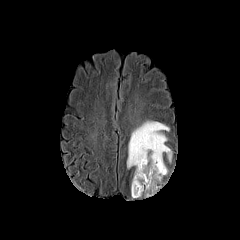
FLAIR MRI.
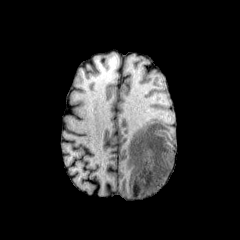
Same slice, T1-weighted magnetic resonance.
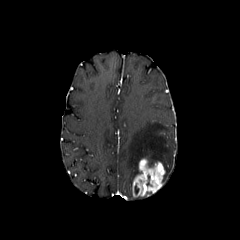
Post-contrast T1-weighted MR image.
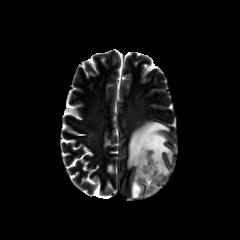
T2-weighted MR of the same slice.
Axial view
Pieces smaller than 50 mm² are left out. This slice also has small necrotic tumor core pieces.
* peritumoral edema: 127,121,172,177
* enhancing tumor: 132,158,165,197